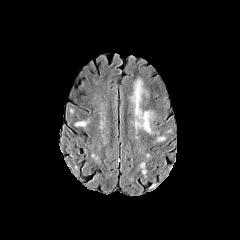
FLAIR MRI.
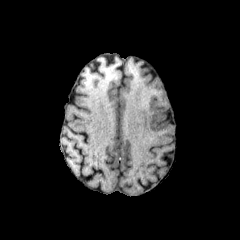
T1-weighted MRI of the same slice.
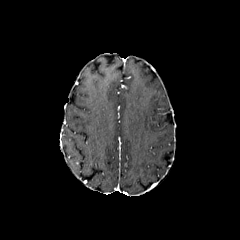
Same slice, post-contrast T1-weighted magnetic resonance.
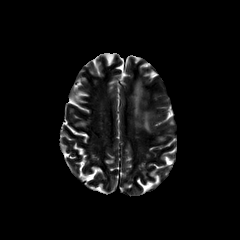
Same slice, T2-weighted MR.
Brain
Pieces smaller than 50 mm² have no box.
The largest peritumoral edema region is located at l=131, t=79, r=151, b=132.